FLAIR MRI.
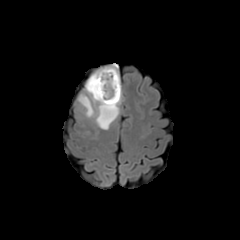
T1-weighted MR image.
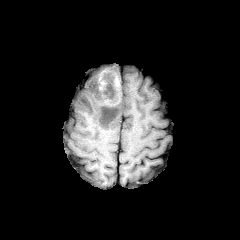
Post-contrast T1-weighted MR image.
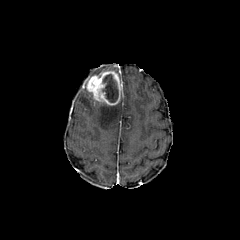
T2-weighted MR image.
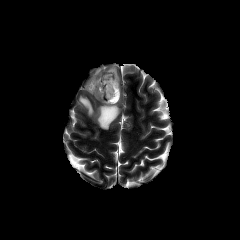
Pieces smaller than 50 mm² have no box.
* enhancing tumor: box(86, 69, 120, 105)
* peritumoral edema: box(78, 89, 121, 129)
* necrotic tumor core: box(102, 74, 118, 102)